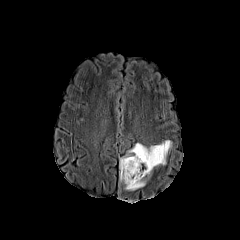
FLAIR MRI.
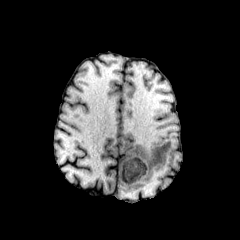
T1-weighted magnetic resonance of the same slice.
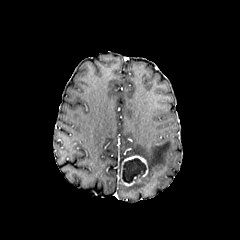
Same slice, post-contrast T1-weighted MR image.
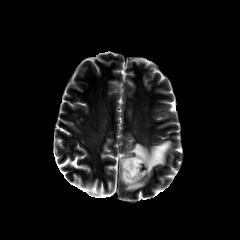
T2-weighted MRI.
Axial slice; Head
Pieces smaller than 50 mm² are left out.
The necrotic tumor core is bounded by rect(123, 158, 146, 183). The largest enhancing tumor region lies within rect(120, 155, 148, 186). The 2 largest peritumoral edema regions are located at rect(119, 140, 172, 177); rect(125, 177, 145, 190).